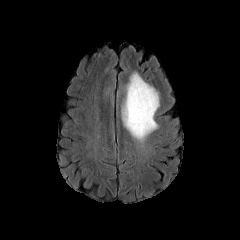
FLAIR MR.
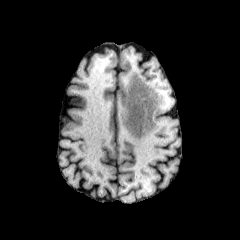
T1-weighted MRI of the same slice.
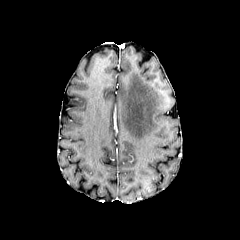
Post-contrast T1-weighted magnetic resonance.
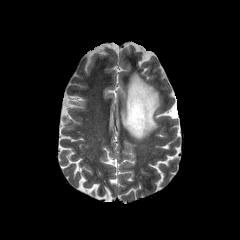
Same slice, T2-weighted MRI.
peritumoral edema at box(122, 72, 159, 141)